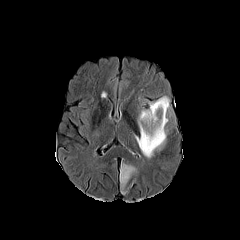
FLAIR MRI.
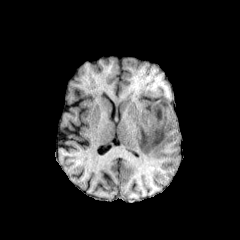
T1-weighted MR image.
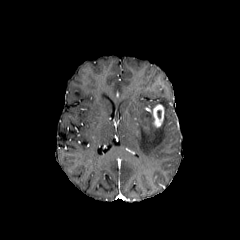
Post-contrast T1-weighted MRI.
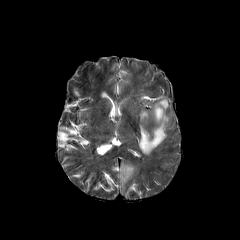
Same slice, T2-weighted MR image.
Axial view. Head.
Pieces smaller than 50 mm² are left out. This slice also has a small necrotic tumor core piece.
enhancing tumor — box=[151, 104, 164, 127]
peritumoral edema — box=[135, 96, 172, 157]; box=[120, 164, 135, 188]